Axial slice
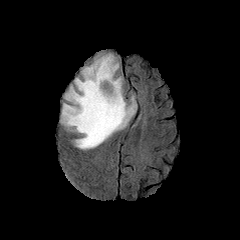
FLAIR MR image.
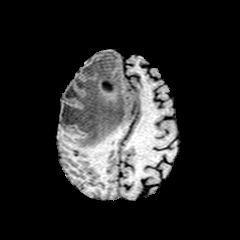
T1-weighted MRI.
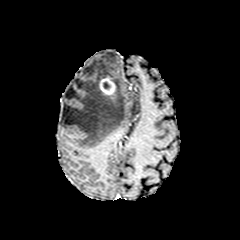
Post-contrast T1-weighted magnetic resonance of the same slice.
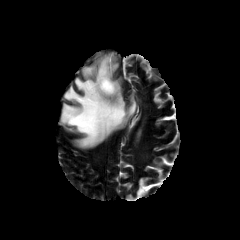
Same slice, T2-weighted MR.
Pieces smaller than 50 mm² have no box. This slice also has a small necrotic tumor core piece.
Annotated regions:
* enhancing tumor: box=[99, 76, 115, 94]
* peritumoral edema: box=[60, 53, 136, 149]